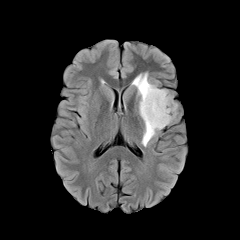
FLAIR MRI.
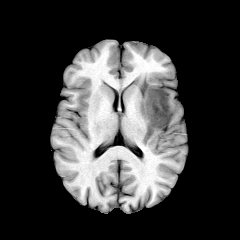
Same slice, T1-weighted MR image.
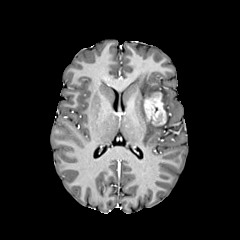
Post-contrast T1-weighted magnetic resonance.
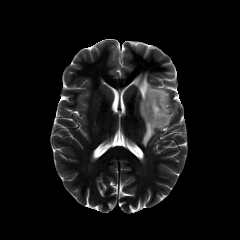
Same slice, T2-weighted magnetic resonance.
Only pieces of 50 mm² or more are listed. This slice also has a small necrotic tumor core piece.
{"peritumoral_edema": ["rect(132, 73, 177, 147)"], "enhancing_tumor": ["rect(144, 92, 166, 125)"]}